Slice 59/155, Axial slice, Image covers 240 mm x 240 mm
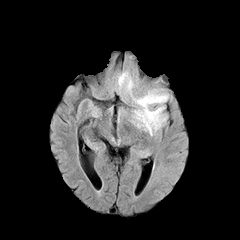
FLAIR magnetic resonance.
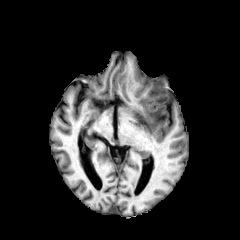
Same slice, T1-weighted MRI.
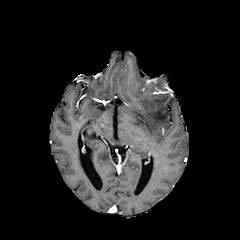
Post-contrast T1-weighted MR image.
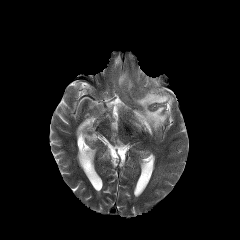
Same slice, T2-weighted magnetic resonance.
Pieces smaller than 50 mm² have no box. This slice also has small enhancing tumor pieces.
2 peritumoral edema regions are bounded by rect(118, 71, 133, 95); rect(133, 81, 169, 135).